Head | Image size 240x240
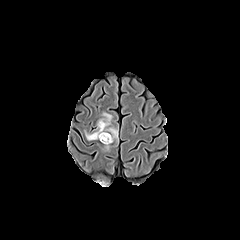
FLAIR MRI.
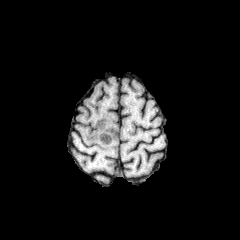
T1-weighted magnetic resonance of the same slice.
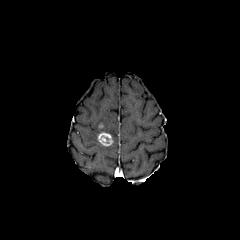
Post-contrast T1-weighted MR.
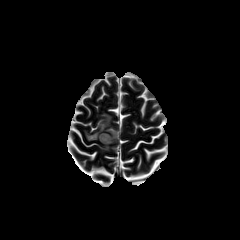
T2-weighted magnetic resonance.
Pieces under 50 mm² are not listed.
{
  "peritumoral_edema": [
    "85,112,118,141"
  ],
  "enhancing_tumor": [
    "97,132,113,146"
  ]
}